FLAIR MR.
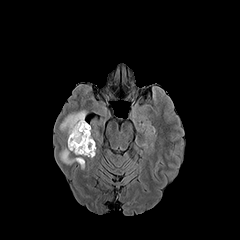
T1-weighted magnetic resonance.
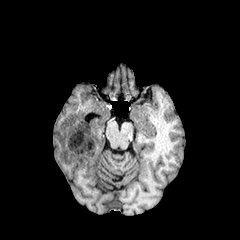
Post-contrast T1-weighted MR.
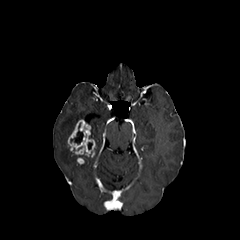
T2-weighted MR.
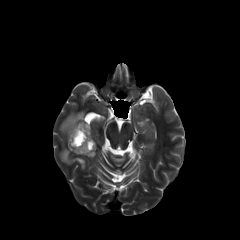
Image size 240x240, Head
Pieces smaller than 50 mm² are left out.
Annotated regions:
• necrotic tumor core: l=70, t=130, r=83, b=144
• enhancing tumor: l=67, t=119, r=95, b=157
• peritumoral edema: l=60, t=111, r=86, b=137; l=60, t=148, r=76, b=164